FLAIR MR image.
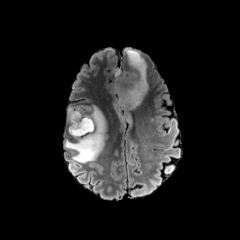
T1-weighted MR image.
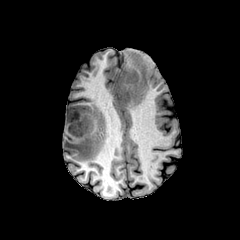
Post-contrast T1-weighted MRI.
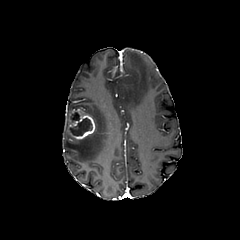
T2-weighted MR image.
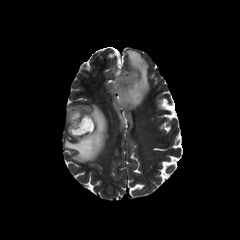
240x240
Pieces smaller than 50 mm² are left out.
2 necrotic tumor core regions appear at <box>70,112,79,122</box>, <box>69,118,92,135</box>. The 2 largest peritumoral edema regions are bounded by <box>111,49,148,108</box>, <box>64,105,106,162</box>. The largest enhancing tumor region is located at <box>66,108,95,139</box>.